Brain
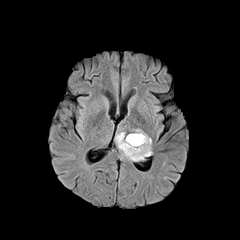
FLAIR MR image.
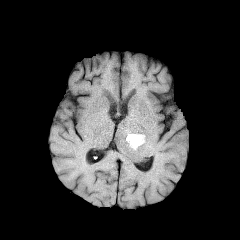
Same slice, T1-weighted magnetic resonance.
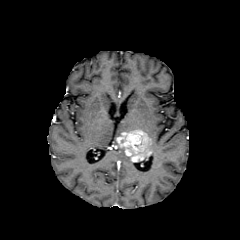
Same slice, post-contrast T1-weighted magnetic resonance.
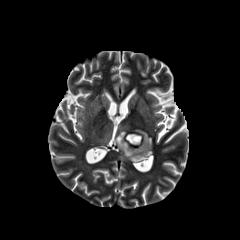
T2-weighted magnetic resonance.
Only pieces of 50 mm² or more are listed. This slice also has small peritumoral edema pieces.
enhancing_tumor:
  - {"x1": 116, "y1": 132, "x2": 151, "y2": 161}